FLAIR MR.
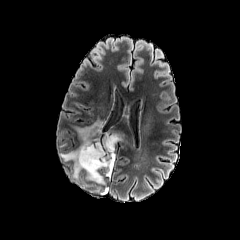
T1-weighted MR image.
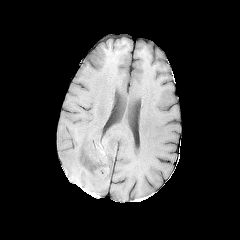
Post-contrast T1-weighted MR image.
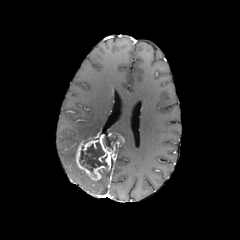
T2-weighted MR image.
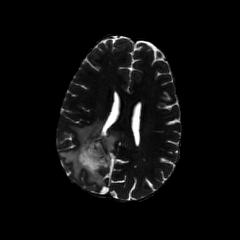
Brain, Image size 240x240
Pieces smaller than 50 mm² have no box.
The 2 largest peritumoral edema regions are bounded by bbox(60, 149, 81, 179); bbox(76, 117, 104, 141). The largest enhancing tumor region is at bbox(75, 131, 123, 180). The 2 largest necrotic tumor core regions are bounded by bbox(104, 135, 116, 149); bbox(79, 142, 108, 171).